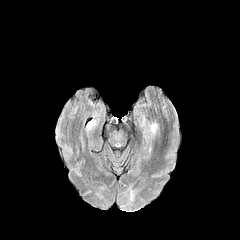
FLAIR MR image.
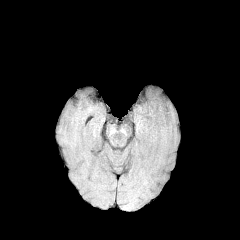
Same slice, T1-weighted MR.
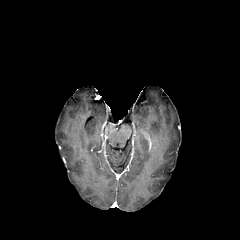
Same slice, post-contrast T1-weighted MR image.
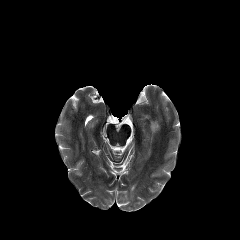
T2-weighted MR image.
Axial plane, Brain
Findings:
- peritumoral edema: x1=149, y1=122, x2=158, y2=135